Image width 240 mm. Axial slice.
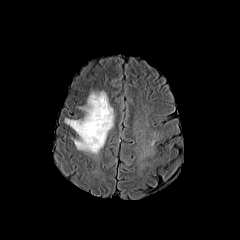
FLAIR MRI.
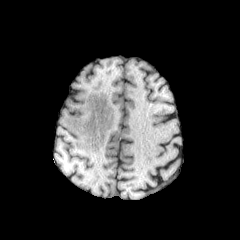
Same slice, T1-weighted MRI.
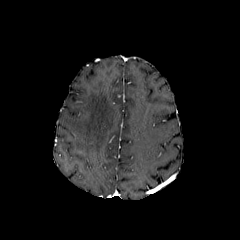
Post-contrast T1-weighted MR of the same slice.
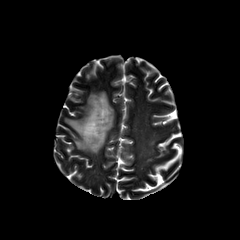
T2-weighted magnetic resonance.
The peritumoral edema is at {"x1": 65, "y1": 91, "x2": 114, "y2": 153}.